Image size 240x240 | Brain | Slice 73/155
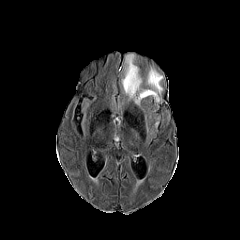
FLAIR magnetic resonance.
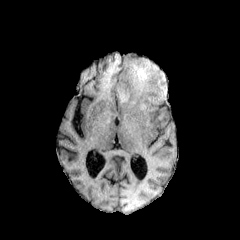
T1-weighted magnetic resonance.
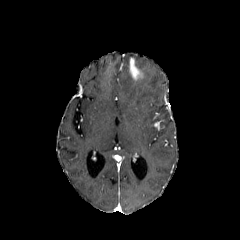
Post-contrast T1-weighted MRI.
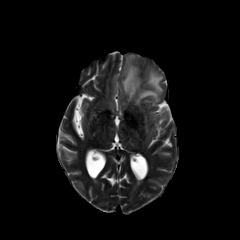
T2-weighted MR.
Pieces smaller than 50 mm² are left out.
The largest enhancing tumor region is at <bbox>129, 58, 143, 80</bbox>. The largest peritumoral edema region is located at <bbox>121, 54, 163, 108</bbox>.